Slice 27/155. Brain. 240x240 px.
FLAIR magnetic resonance.
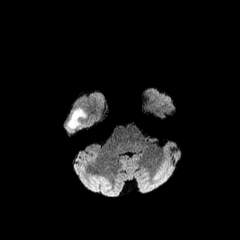
T1-weighted magnetic resonance.
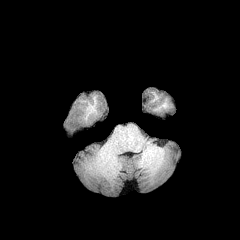
Post-contrast T1-weighted MRI.
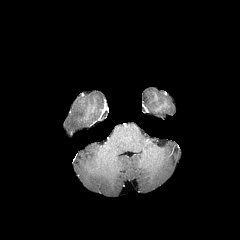
T2-weighted MR image.
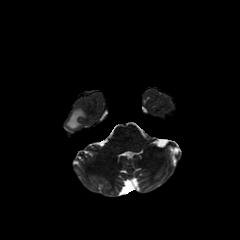
• peritumoral edema: l=69, t=110, r=84, b=127